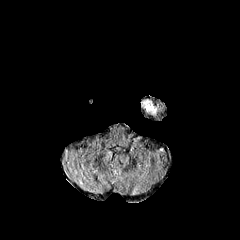
FLAIR MR.
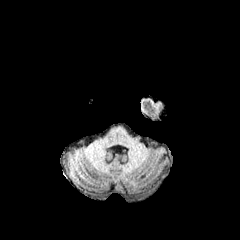
T1-weighted MRI of the same slice.
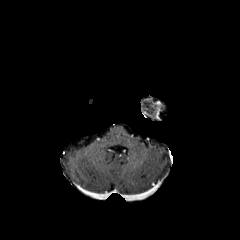
Post-contrast T1-weighted MRI.
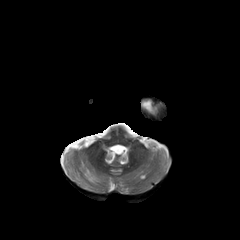
Same slice, T2-weighted magnetic resonance.
Axial slice, 240x240 px
Segmented structures:
- peritumoral edema: [143, 100, 156, 114]